Slice 95/155. Axial view.
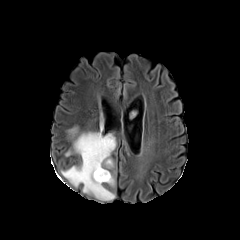
FLAIR magnetic resonance.
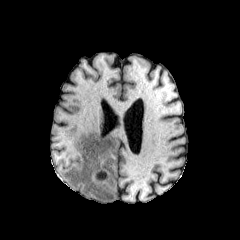
T1-weighted MR image.
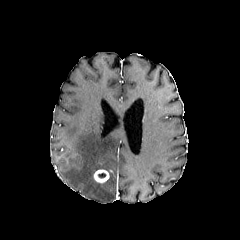
Same slice, post-contrast T1-weighted MR image.
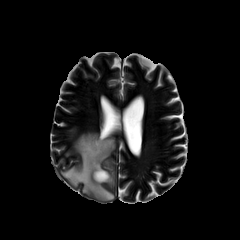
T2-weighted magnetic resonance.
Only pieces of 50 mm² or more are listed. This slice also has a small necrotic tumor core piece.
The enhancing tumor lies within 93,169,109,183. The 2 largest peritumoral edema regions are bounded by 61,131,115,200; 105,172,114,186.